240x240. Slice index 59.
FLAIR MR.
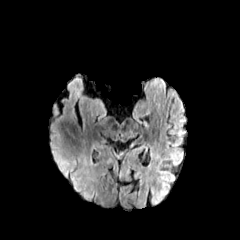
T1-weighted magnetic resonance.
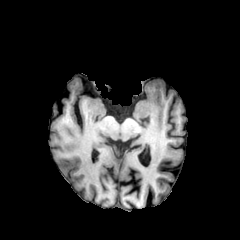
Post-contrast T1-weighted MRI.
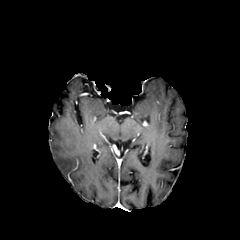
T2-weighted MR image.
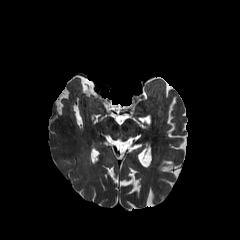
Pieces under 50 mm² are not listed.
The largest peritumoral edema region is at {"x1": 49, "y1": 123, "x2": 94, "y2": 200}.